FLAIR MR.
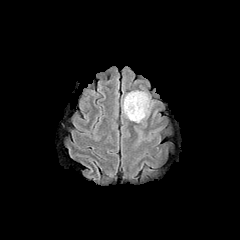
T1-weighted magnetic resonance.
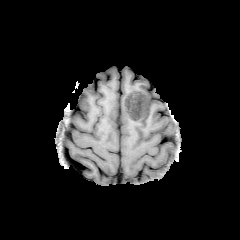
Post-contrast T1-weighted MRI.
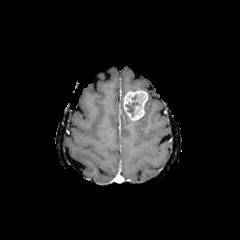
T2-weighted MRI.
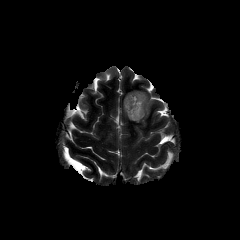
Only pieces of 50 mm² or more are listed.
Segmented structures:
- necrotic tumor core: [126,102,138,116]
- peritumoral edema: [134,96,153,122]
- enhancing tumor: [123,90,148,120]